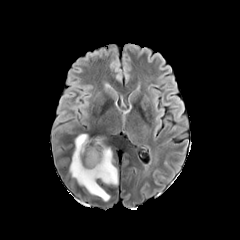
FLAIR MRI.
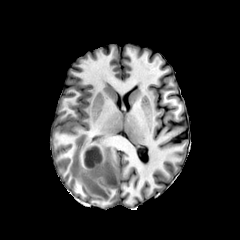
T1-weighted MR.
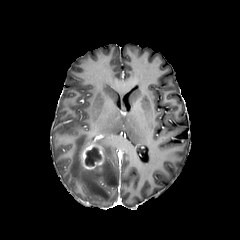
Same slice, post-contrast T1-weighted MR.
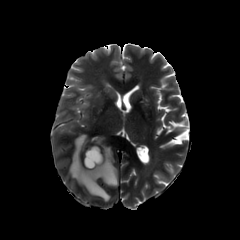
T2-weighted MRI of the same slice.
Head
• necrotic tumor core: (85, 147, 101, 165)
• peritumoral edema: (69, 134, 117, 201)
• enhancing tumor: (82, 145, 103, 169)